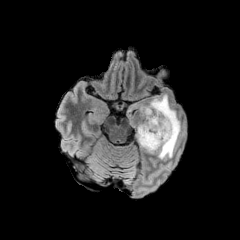
FLAIR magnetic resonance.
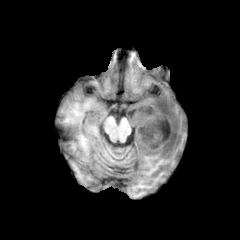
T1-weighted MRI of the same slice.
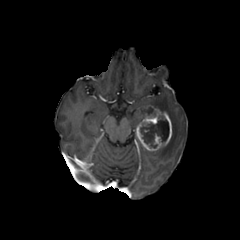
Post-contrast T1-weighted MR.
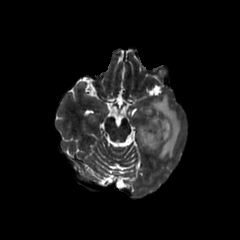
T2-weighted MR.
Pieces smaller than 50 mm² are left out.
Annotated regions:
- peritumoral edema: (left=140, top=94, right=184, bottom=159)
- necrotic tumor core: (left=140, top=116, right=169, bottom=147)
- enhancing tumor: (left=135, top=106, right=172, bottom=151)